Axial plane. Slice 53 of 155. 240x240.
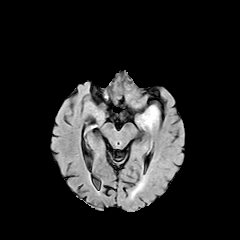
FLAIR MR image.
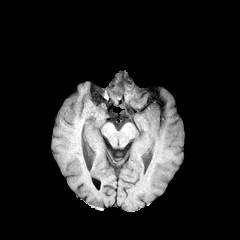
T1-weighted MR.
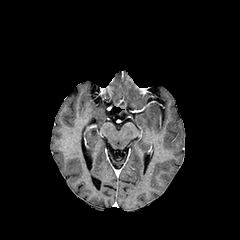
Post-contrast T1-weighted MR of the same slice.
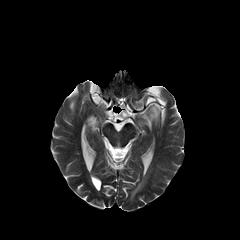
T2-weighted MR of the same slice.
The peritumoral edema appears at box=[142, 106, 158, 128].